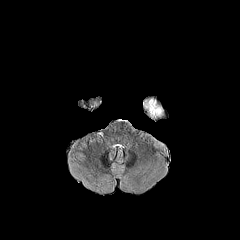
FLAIR MR.
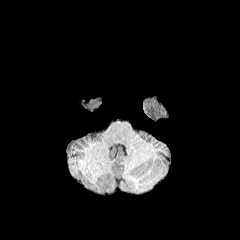
Same slice, T1-weighted MRI.
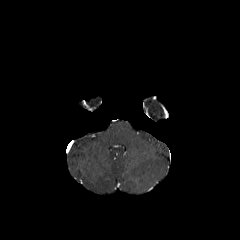
Same slice, post-contrast T1-weighted MRI.
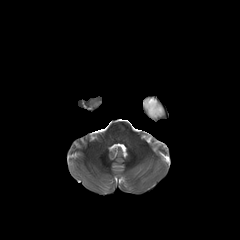
Same slice, T2-weighted MRI.
Brain
peritumoral edema: bbox=[144, 99, 162, 117]